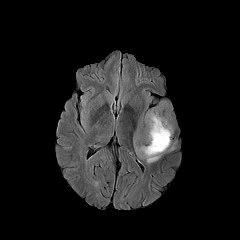
FLAIR MR.
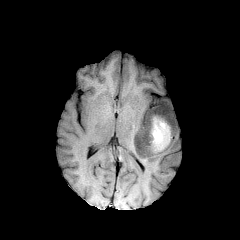
T1-weighted MR of the same slice.
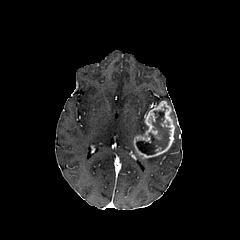
Post-contrast T1-weighted magnetic resonance.
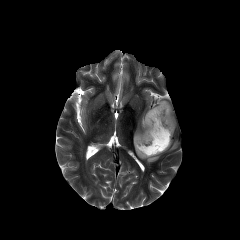
T2-weighted MRI.
240x240 px; Brain; Axial plane
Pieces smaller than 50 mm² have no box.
enhancing tumor — bbox=[133, 100, 175, 158]
peritumoral edema — bbox=[145, 155, 160, 163]
necrotic tumor core — bbox=[136, 111, 169, 154]